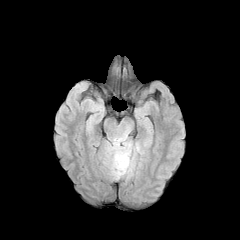
FLAIR magnetic resonance.
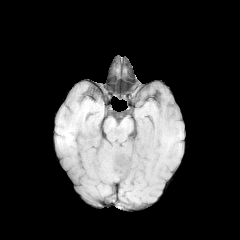
T1-weighted magnetic resonance of the same slice.
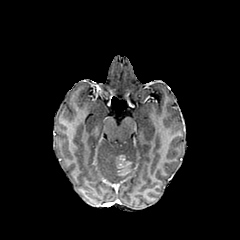
Post-contrast T1-weighted MRI.
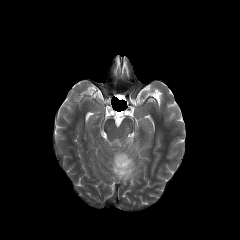
T2-weighted magnetic resonance.
Findings:
• enhancing tumor: 115, 155, 131, 176
• peritumoral edema: 104, 126, 136, 179